FLAIR magnetic resonance.
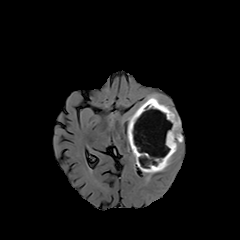
T1-weighted magnetic resonance.
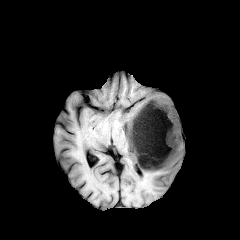
Post-contrast T1-weighted MR.
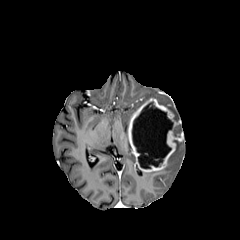
T2-weighted MR image.
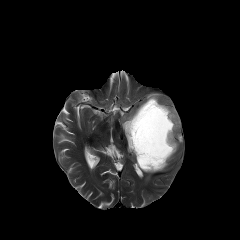
Brain | Axial slice
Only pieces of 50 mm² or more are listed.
enhancing_tumor:
  - bbox=[127, 98, 183, 171]
peritumoral_edema:
  - bbox=[144, 168, 165, 179]
  - bbox=[168, 141, 182, 165]
  - bbox=[123, 93, 179, 122]
necrotic_tumor_core:
  - bbox=[132, 102, 173, 168]